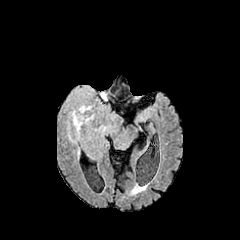
FLAIR MR image.
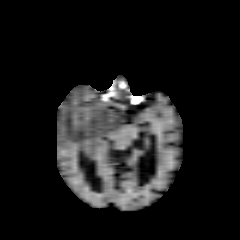
T1-weighted MR of the same slice.
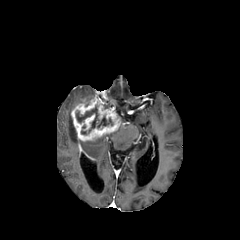
Post-contrast T1-weighted MRI of the same slice.
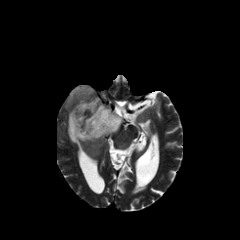
T2-weighted MR.
Axial plane, Head
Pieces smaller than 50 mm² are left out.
necrotic tumor core = bbox(76, 105, 98, 132); bbox(97, 116, 112, 127)
enhancing tumor = bbox(70, 96, 121, 141)
peritumoral edema = bbox(67, 114, 81, 143); bbox(67, 86, 93, 108)